FLAIR MRI.
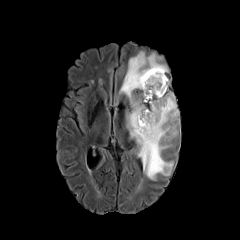
T1-weighted magnetic resonance.
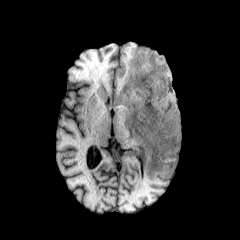
Post-contrast T1-weighted MRI.
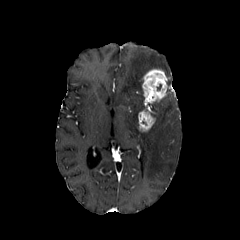
T2-weighted magnetic resonance.
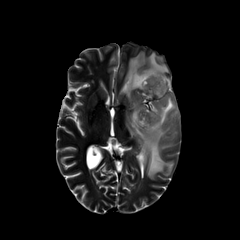
Axial slice. Brain.
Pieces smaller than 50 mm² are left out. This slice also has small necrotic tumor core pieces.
2 enhancing tumor regions appear at region(141, 68, 168, 101); region(138, 107, 155, 131). The largest peritumoral edema region is at region(120, 51, 178, 179).